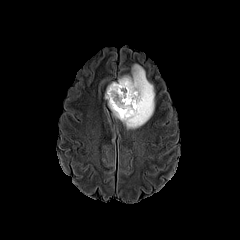
FLAIR MR image.
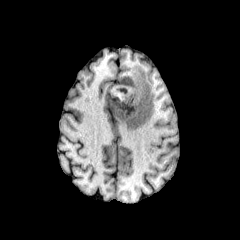
Same slice, T1-weighted MRI.
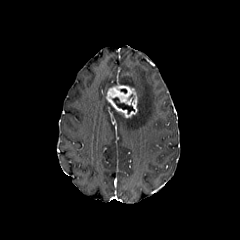
Same slice, post-contrast T1-weighted magnetic resonance.
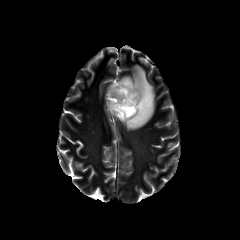
Same slice, T2-weighted MR image.
240x240 | Axial slice
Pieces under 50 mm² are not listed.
necrotic tumor core = rect(112, 97, 134, 113)
enhancing tumor = rect(106, 83, 137, 117)
peritumoral edema = rect(109, 64, 154, 129)